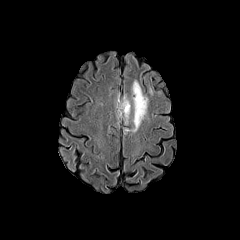
FLAIR magnetic resonance.
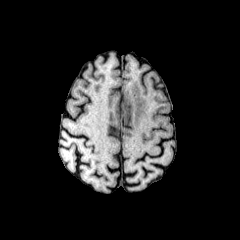
T1-weighted magnetic resonance.
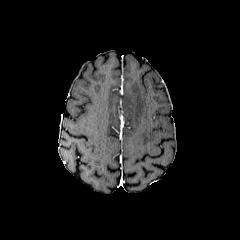
Post-contrast T1-weighted MR image.
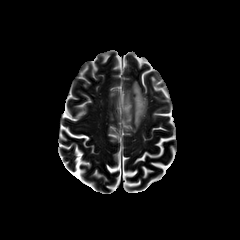
Same slice, T2-weighted MR image.
Brain.
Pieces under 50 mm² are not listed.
The 2 largest peritumoral edema regions are bounded by <box>131,81,147,132</box>, <box>122,96,130,122</box>.